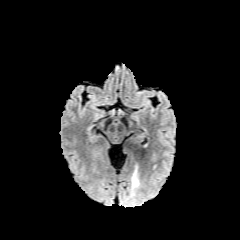
FLAIR MRI.
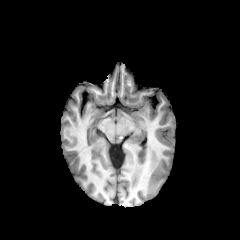
T1-weighted MRI.
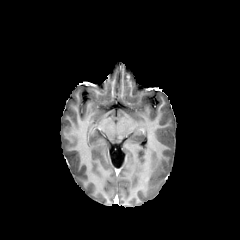
Post-contrast T1-weighted MRI.
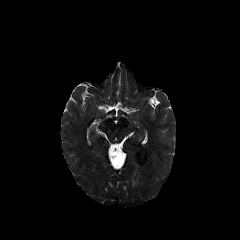
T2-weighted MR image.
Brain
peritumoral_edema:
  - (x1=131, y1=168, x2=139, y2=189)